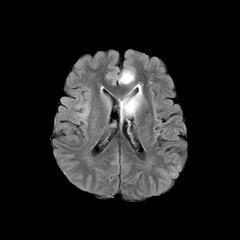
FLAIR MR image.
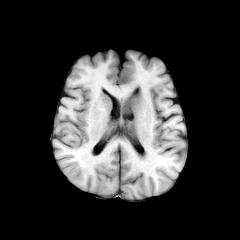
T1-weighted MR image.
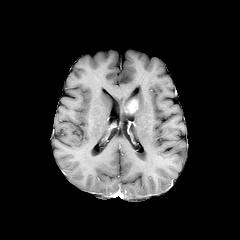
Post-contrast T1-weighted MRI.
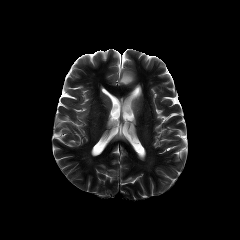
Same slice, T2-weighted MR image.
Axial view
2 peritumoral edema regions are bounded by [119,84,142,119], [119,70,134,84]. The enhancing tumor is located at [123,98,137,114].